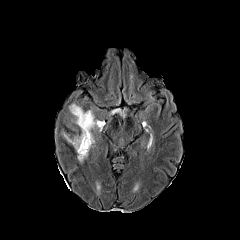
FLAIR MR image.
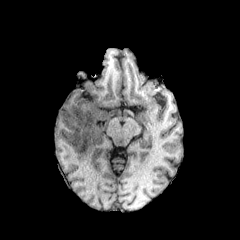
T1-weighted MR image.
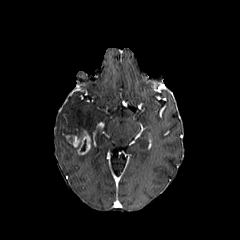
Post-contrast T1-weighted MRI.
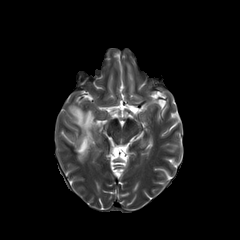
T2-weighted MRI.
Axial slice
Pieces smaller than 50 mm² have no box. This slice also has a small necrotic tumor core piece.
enhancing tumor = bbox=[66, 130, 90, 154]
peritumoral edema = bbox=[69, 106, 100, 150]; bbox=[77, 151, 91, 185]